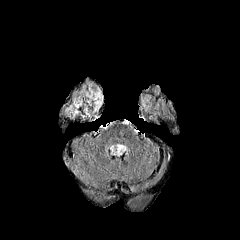
FLAIR MRI.
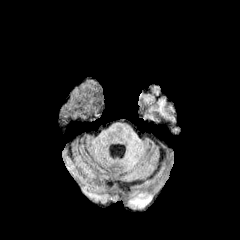
T1-weighted MRI.
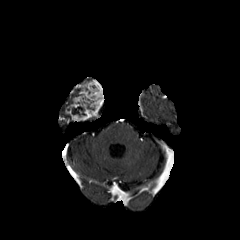
Post-contrast T1-weighted magnetic resonance.
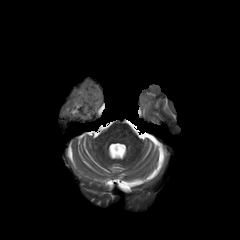
T2-weighted MRI of the same slice.
Axial plane
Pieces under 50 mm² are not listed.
enhancing tumor: rect(65, 80, 103, 120) | necrotic tumor core: rect(72, 106, 84, 115)